FLAIR MRI.
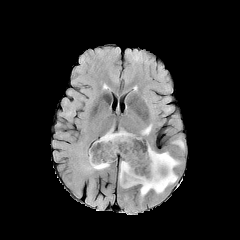
T1-weighted magnetic resonance.
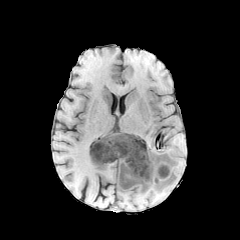
Post-contrast T1-weighted MR.
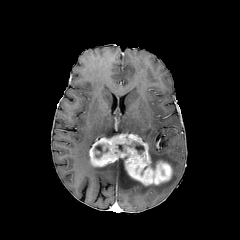
T2-weighted magnetic resonance.
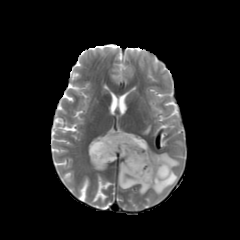
Brain | 240x240
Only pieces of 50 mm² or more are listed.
- necrotic tumor core: [x1=95, y1=144, x2=103, y2=157], [x1=135, y1=144, x2=144, y2=153]
- peritumoral edema: [x1=103, y1=129, x2=126, y2=137], [x1=87, y1=156, x2=109, y2=169], [x1=141, y1=125, x2=151, y2=135], [x1=119, y1=146, x2=179, y2=196]
- enhancing tumor: [x1=89, y1=133, x2=172, y2=185]